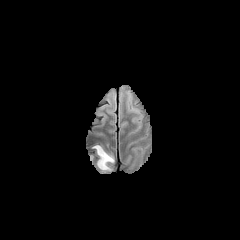
FLAIR MR.
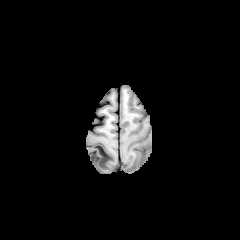
Same slice, T1-weighted MR image.
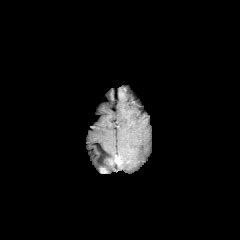
Post-contrast T1-weighted MR.
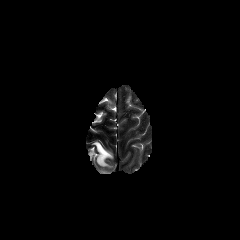
Same slice, T2-weighted MR.
Brain
peritumoral edema: x1=94, y1=145, x2=113, y2=169